FLAIR MR.
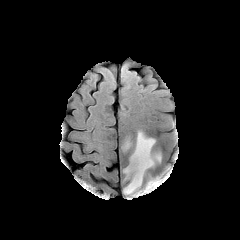
T1-weighted magnetic resonance.
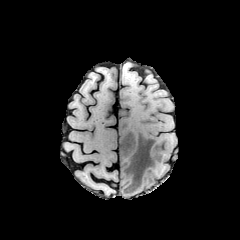
Post-contrast T1-weighted MR image.
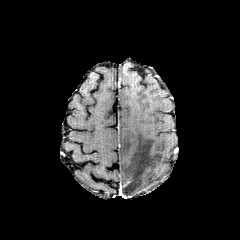
T2-weighted MR.
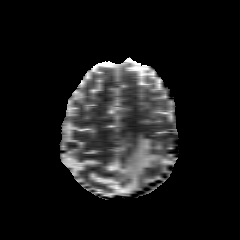
240x240
{"peritumoral_edema": [{"x1": 147, "y1": 177, "x2": 160, "y2": 191}, {"x1": 122, "y1": 140, "x2": 131, "y2": 149}, {"x1": 122, "y1": 132, "x2": 161, "y2": 194}]}